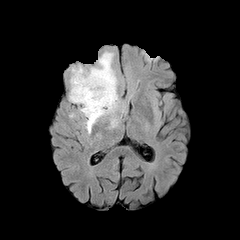
FLAIR MRI.
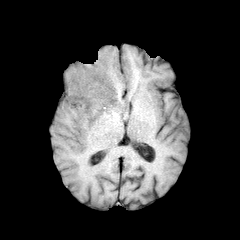
Same slice, T1-weighted MRI.
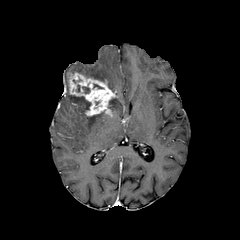
Post-contrast T1-weighted MR image.
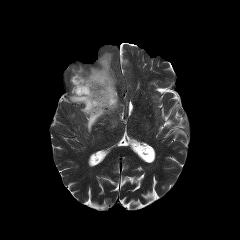
T2-weighted MRI.
Axial view
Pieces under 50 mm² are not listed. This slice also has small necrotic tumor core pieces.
peritumoral edema at 69, 95, 108, 133; 71, 52, 117, 91; 108, 97, 118, 112
enhancing tumor at 69, 72, 117, 116